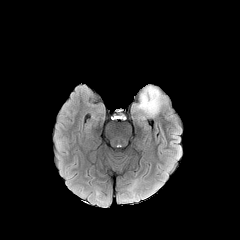
FLAIR MRI.
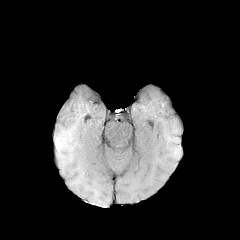
T1-weighted MR of the same slice.
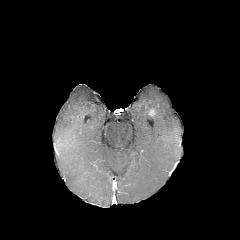
Post-contrast T1-weighted magnetic resonance.
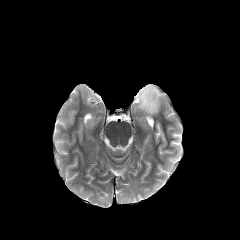
Same slice, T2-weighted MR image.
Axial plane.
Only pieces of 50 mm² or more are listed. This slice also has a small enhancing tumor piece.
peritumoral edema — left=134, top=85, right=164, bottom=117